Head; Image size 240x240; Axial slice; Slice index 55
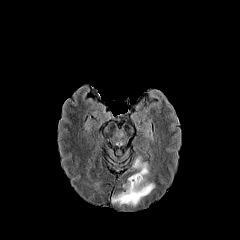
FLAIR MRI.
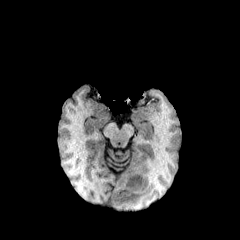
T1-weighted MRI of the same slice.
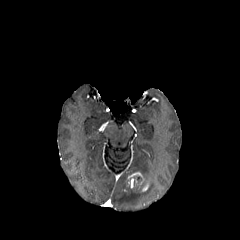
Same slice, post-contrast T1-weighted MR.
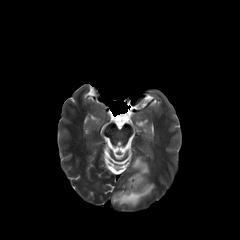
T2-weighted MR of the same slice.
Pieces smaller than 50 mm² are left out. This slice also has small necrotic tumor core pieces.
enhancing tumor — [x1=127, y1=172, x2=149, y2=191]
peritumoral edema — [x1=132, y1=156, x2=149, y2=180], [x1=112, y1=182, x2=155, y2=206]